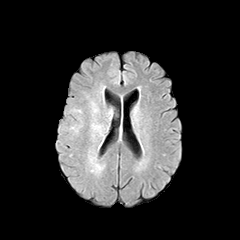
FLAIR MRI.
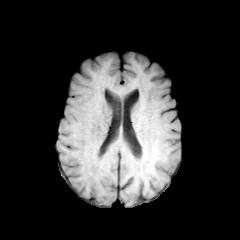
T1-weighted MRI.
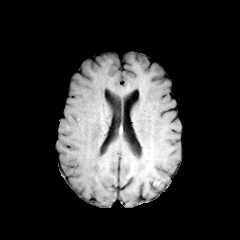
Post-contrast T1-weighted MRI.
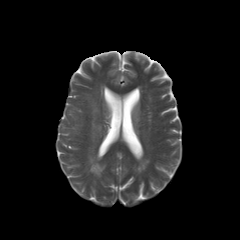
T2-weighted magnetic resonance.
Brain, 240x240, Axial plane
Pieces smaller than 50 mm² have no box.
{"peritumoral_edema": ["rect(107, 109, 112, 120)"]}